FLAIR magnetic resonance.
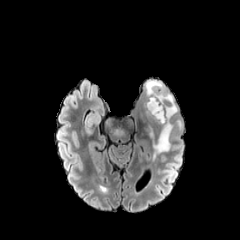
T1-weighted MR image.
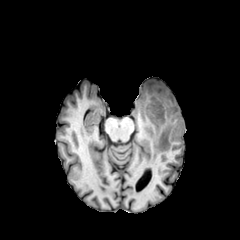
Post-contrast T1-weighted MR image.
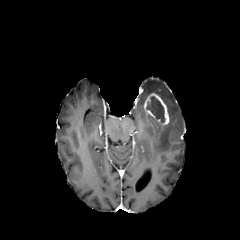
T2-weighted magnetic resonance.
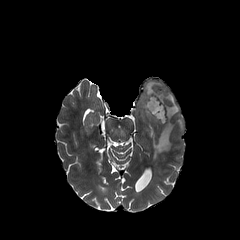
Axial slice, 240x240 px
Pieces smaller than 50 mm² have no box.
Findings:
- necrotic tumor core: 146:96:164:122
- enhancing tumor: 143:92:169:125
- peritumoral edema: 143:80:182:157